FLAIR MR.
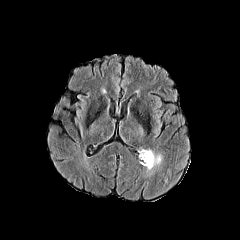
T1-weighted MR.
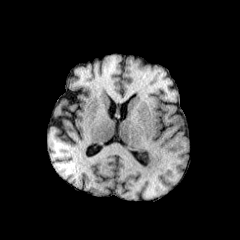
Post-contrast T1-weighted MR.
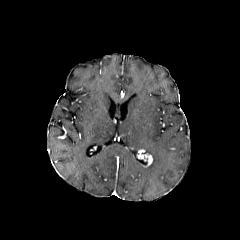
T2-weighted MR.
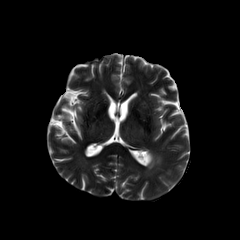
Head
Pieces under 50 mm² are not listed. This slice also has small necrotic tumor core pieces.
The largest peritumoral edema region is at (x1=145, y1=148, x2=162, y2=174). The enhancing tumor is located at (x1=138, y1=149, x2=152, y2=166).